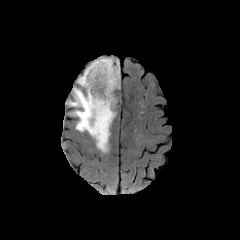
FLAIR MR image.
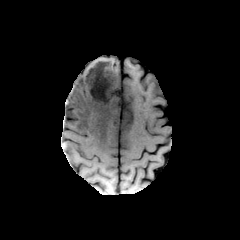
T1-weighted magnetic resonance.
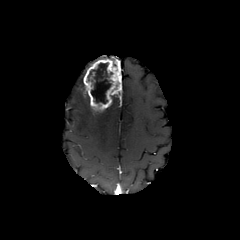
Same slice, post-contrast T1-weighted MR image.
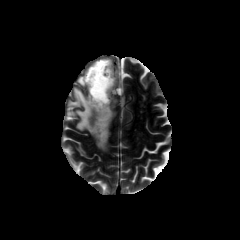
T2-weighted magnetic resonance.
Image size 240x240.
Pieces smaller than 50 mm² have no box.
The largest peritumoral edema region is at x1=66 y1=64 x2=117 y2=152. The enhancing tumor is at x1=83 y1=57 x2=121 y2=112. The largest necrotic tumor core region appears at x1=89 y1=63 x2=111 y2=103.